Brain.
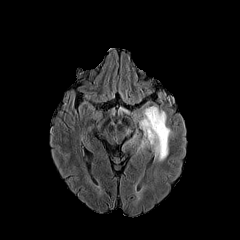
FLAIR MR.
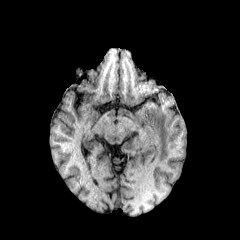
T1-weighted magnetic resonance.
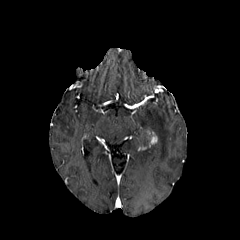
Post-contrast T1-weighted MRI of the same slice.
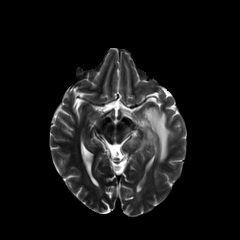
T2-weighted MRI.
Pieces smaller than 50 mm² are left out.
{
  "peritumoral_edema": [
    "<bbox>134, 106, 171, 161</bbox>",
    "<bbox>128, 135, 137, 144</bbox>"
  ],
  "enhancing_tumor": [
    "<bbox>145, 129, 157, 146</bbox>"
  ]
}